FLAIR MRI.
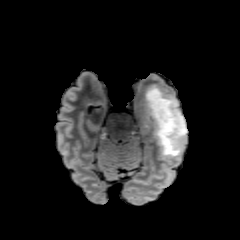
T1-weighted MR image.
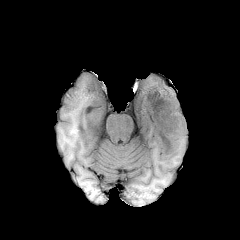
Post-contrast T1-weighted MRI.
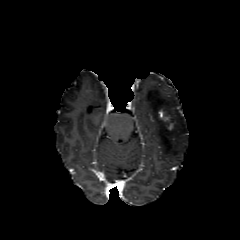
T2-weighted MRI.
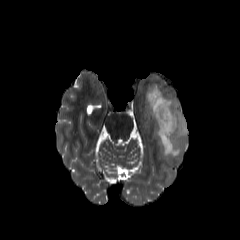
Head. Axial slice. 240x240.
Segmented structures:
* peritumoral edema: region(145, 85, 187, 160)
* enhancing tumor: region(158, 109, 173, 130)